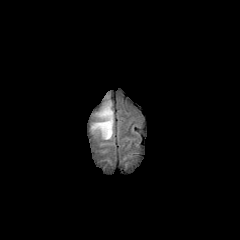
FLAIR MR.
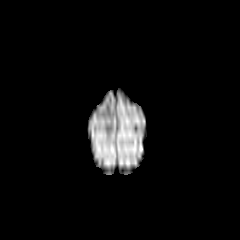
Same slice, T1-weighted MRI.
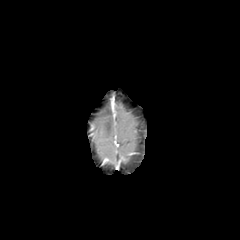
Post-contrast T1-weighted magnetic resonance.
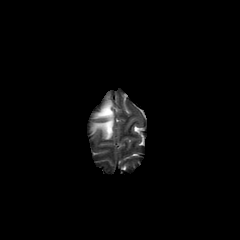
T2-weighted magnetic resonance of the same slice.
Brain
peritumoral_edema:
  - 92, 101, 113, 139